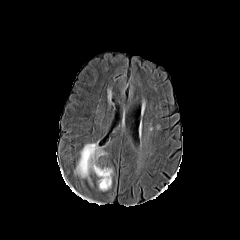
FLAIR magnetic resonance.
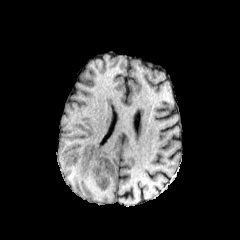
T1-weighted MRI.
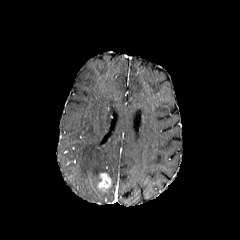
Same slice, post-contrast T1-weighted MR.
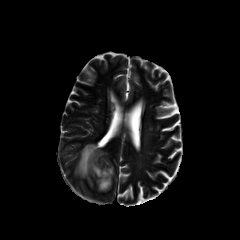
T2-weighted magnetic resonance.
Axial slice. Head.
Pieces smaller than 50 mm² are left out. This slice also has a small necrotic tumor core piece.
The largest peritumoral edema region appears at (75,143,112,184). The enhancing tumor is bounded by (98,172,110,190).